240x240 px | Brain
FLAIR MR.
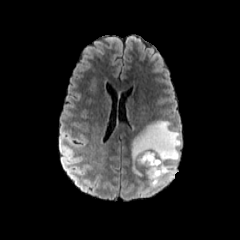
T1-weighted MRI.
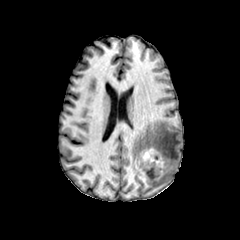
Post-contrast T1-weighted MR.
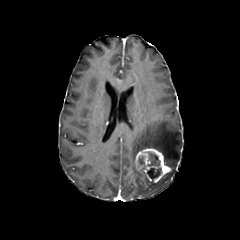
T2-weighted MRI.
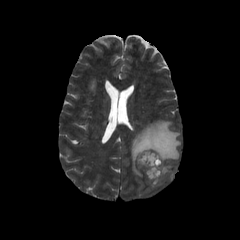
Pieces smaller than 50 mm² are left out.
Annotated regions:
• peritumoral edema: x1=131, y1=120, x2=181, y2=187
• enhancing tumor: x1=135, y1=147, x2=171, y2=183
• necrotic tumor core: x1=147, y1=167, x2=161, y2=179; x1=148, y1=152, x2=160, y2=165